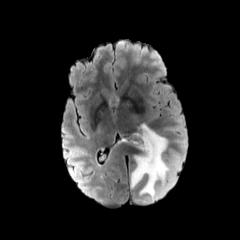
FLAIR MRI.
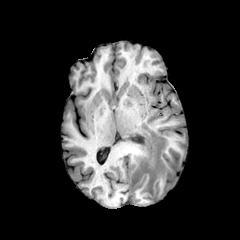
T1-weighted MR.
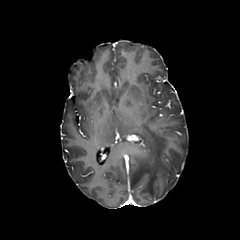
Same slice, post-contrast T1-weighted MR.
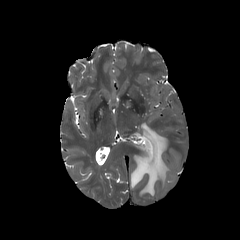
T2-weighted magnetic resonance.
240x240 px | Head
peritumoral_edema:
  - box=[131, 123, 169, 197]